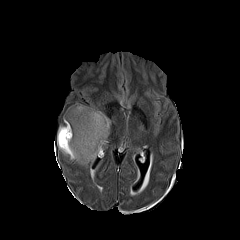
FLAIR MR image.
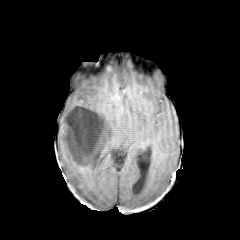
T1-weighted MR of the same slice.
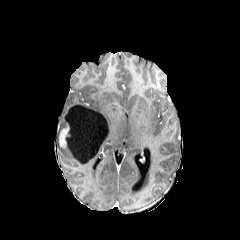
Post-contrast T1-weighted magnetic resonance of the same slice.
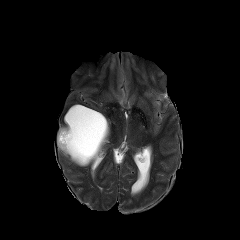
T2-weighted MR image.
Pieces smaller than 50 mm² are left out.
enhancing tumor: bbox=[59, 125, 69, 147] | necrotic tumor core: bbox=[65, 105, 108, 164] | peritumoral edema: bbox=[75, 103, 110, 136]; bbox=[57, 116, 96, 166]